FLAIR magnetic resonance.
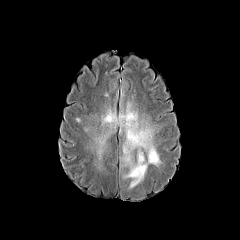
T1-weighted magnetic resonance.
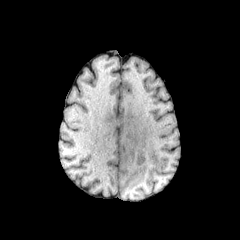
Post-contrast T1-weighted MR image.
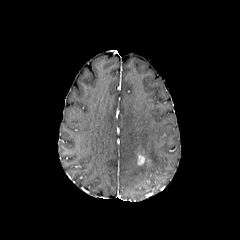
T2-weighted MR image.
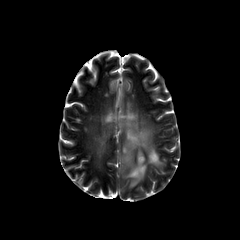
240x240 px
enhancing tumor at x1=137 y1=150 x2=147 y2=165
peritumoral edema at x1=79 y1=90 x2=164 y2=191